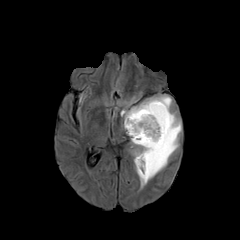
FLAIR MR.
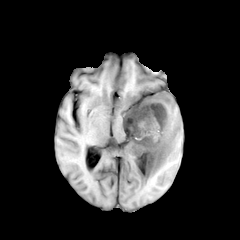
T1-weighted MR image.
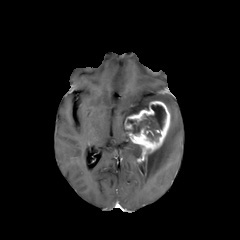
Post-contrast T1-weighted magnetic resonance.
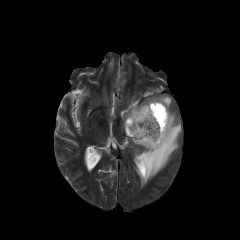
T2-weighted MR.
Axial view | Head
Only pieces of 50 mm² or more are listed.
Annotated regions:
- peritumoral edema: <bbox>120, 95, 181, 187</bbox>
- enhancing tumor: <bbox>124, 101, 170, 163</bbox>
- necrotic tumor core: <bbox>127, 105, 165, 139</bbox>